FLAIR MR.
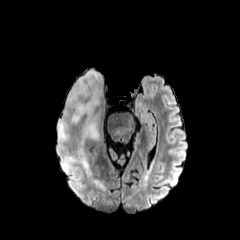
T1-weighted MRI.
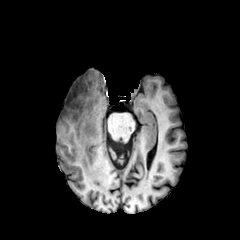
Post-contrast T1-weighted MR image.
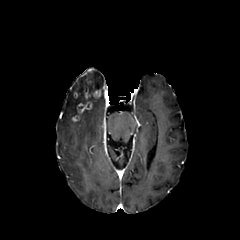
T2-weighted MR image.
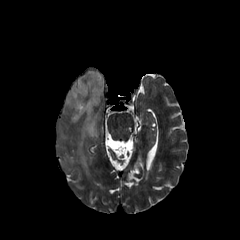
240x240, Head
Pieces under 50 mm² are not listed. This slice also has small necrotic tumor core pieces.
enhancing tumor: left=72, top=68, right=103, bottom=122; left=73, top=81, right=80, bottom=98 | peritumoral edema: left=89, top=69, right=103, bottom=90; left=58, top=76, right=93, bottom=139; left=68, top=98, right=100, bottom=168